Slice index 125; Image covers 240 mm x 240 mm; Brain
FLAIR MR image.
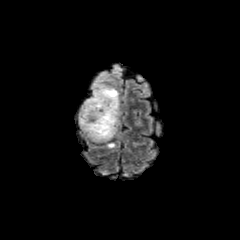
T1-weighted MR.
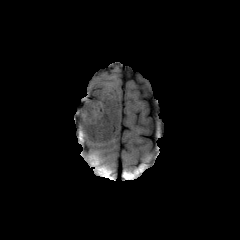
Post-contrast T1-weighted MR.
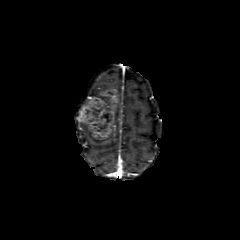
T2-weighted MR.
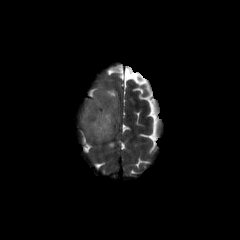
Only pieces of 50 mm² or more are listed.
necrotic tumor core — 93,113,111,131; 92,108,101,117
peritumoral edema — 88,85,113,97; 82,104,119,141
enhancing tumor — 79,88,119,139